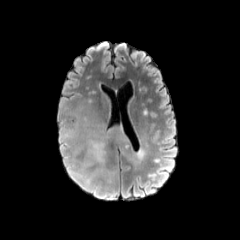
FLAIR MR image.
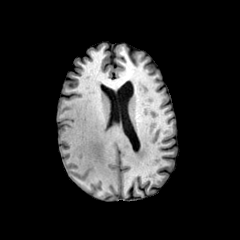
Same slice, T1-weighted MRI.
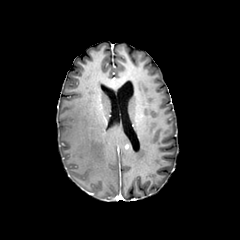
Post-contrast T1-weighted magnetic resonance.
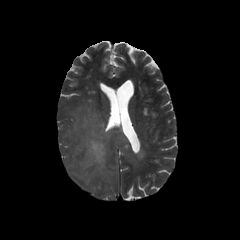
T2-weighted MR.
Axial plane | Head
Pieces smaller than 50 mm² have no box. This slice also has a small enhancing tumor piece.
peritumoral edema: (65, 125, 112, 183)